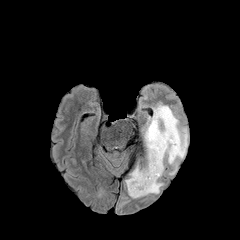
FLAIR MR.
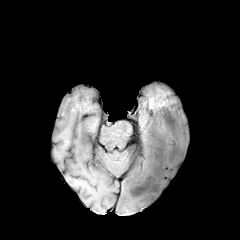
Same slice, T1-weighted MRI.
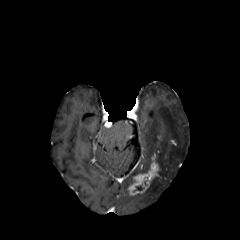
Post-contrast T1-weighted MR of the same slice.
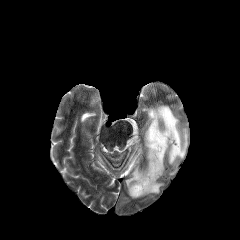
Same slice, T2-weighted MRI.
Axial view. Head.
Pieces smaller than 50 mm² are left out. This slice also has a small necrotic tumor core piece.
The largest enhancing tumor region lies within 128,153,160,195. The largest peritumoral edema region is bounded by 125,104,188,198.